FLAIR MR image.
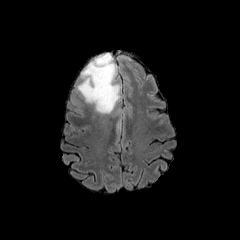
T1-weighted MR image.
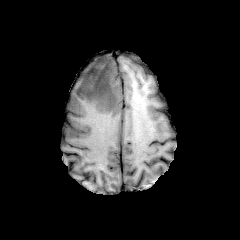
Post-contrast T1-weighted MR image.
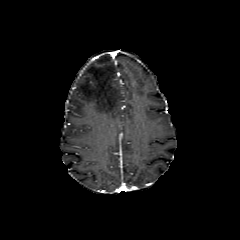
T2-weighted MRI.
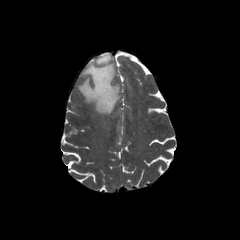
Axial slice; Image size 240x240
Segmented structures:
* peritumoral edema: region(77, 53, 119, 114)